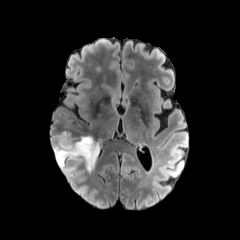
FLAIR MR image.
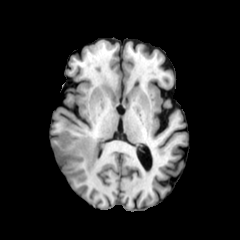
Same slice, T1-weighted MRI.
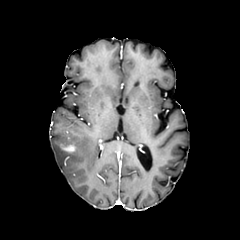
Post-contrast T1-weighted MR of the same slice.
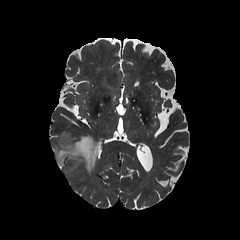
T2-weighted MR image.
Brain
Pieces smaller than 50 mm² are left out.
enhancing tumor: box=[61, 145, 75, 152] | peritumoral edema: box=[54, 132, 99, 172]